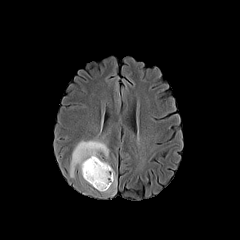
FLAIR MR.
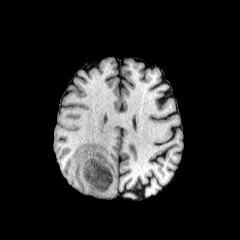
T1-weighted MR image of the same slice.
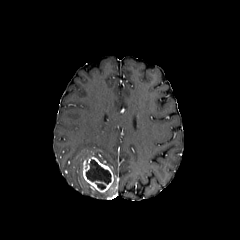
Post-contrast T1-weighted MR.
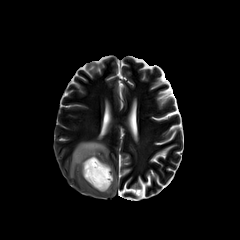
T2-weighted magnetic resonance.
Brain | Axial slice
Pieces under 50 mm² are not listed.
The enhancing tumor is located at <bbox>83, 156, 113, 192</bbox>. The 2 largest peritumoral edema regions are located at <bbox>105, 169, 117, 195</bbox>, <bbox>70, 140, 110, 177</bbox>. The largest necrotic tumor core region is bounded by <bbox>86, 160, 111, 184</bbox>.